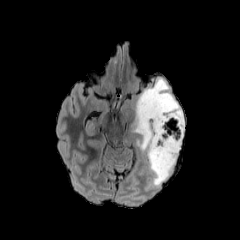
FLAIR MR.
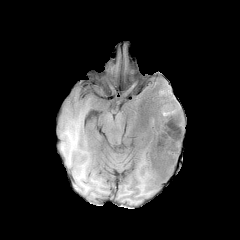
T1-weighted MRI of the same slice.
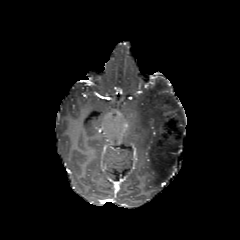
Post-contrast T1-weighted MR.
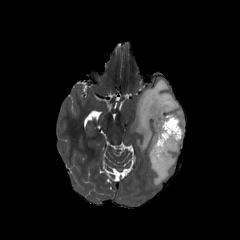
T2-weighted MRI.
Head
peritumoral_edema:
  - 131,78,183,185